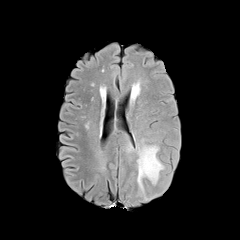
FLAIR MR.
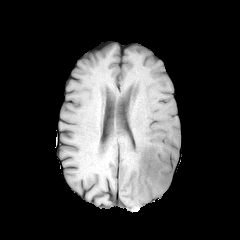
T1-weighted MR image.
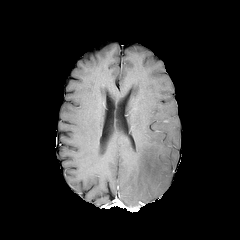
Post-contrast T1-weighted magnetic resonance.
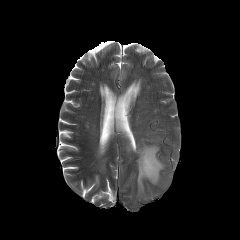
T2-weighted MR image.
Brain.
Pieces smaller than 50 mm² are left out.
The largest peritumoral edema region is bounded by box=[137, 145, 164, 193].